240x240 px; Brain; Slice 122 of 155
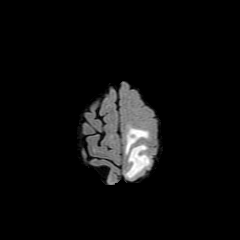
FLAIR MRI.
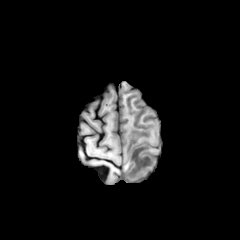
T1-weighted MRI of the same slice.
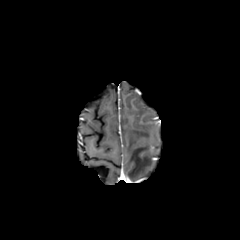
Same slice, post-contrast T1-weighted MR.
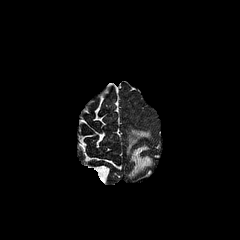
T2-weighted MR image.
The peritumoral edema is bounded by 126:128:150:177.